Slice 97 of 155, Axial slice
FLAIR MR.
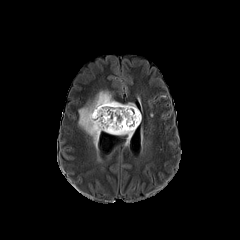
T1-weighted MR image.
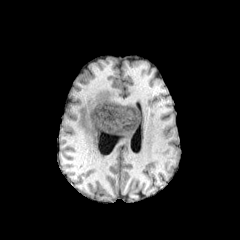
Post-contrast T1-weighted magnetic resonance.
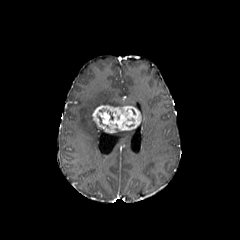
T2-weighted MR.
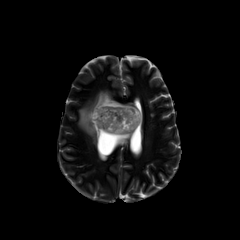
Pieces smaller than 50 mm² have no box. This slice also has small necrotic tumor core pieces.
enhancing_tumor:
  - (92,105,141,133)
peritumoral_edema:
  - (78,91,136,147)
  - (113,129,135,142)